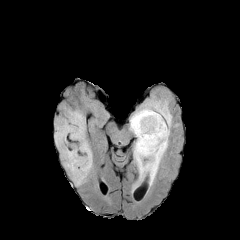
FLAIR MRI.
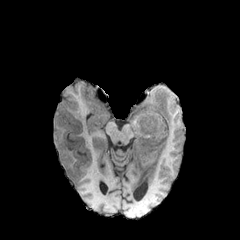
T1-weighted MR of the same slice.
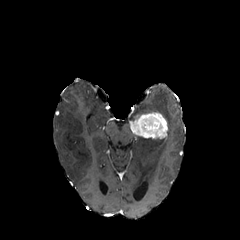
Post-contrast T1-weighted MR image of the same slice.
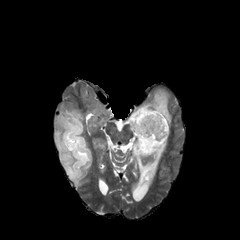
T2-weighted MRI.
240x240.
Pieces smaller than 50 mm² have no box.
peritumoral edema: (54,103,92,185), (131,90,172,189) | enhancing tumor: (130,112,167,139)